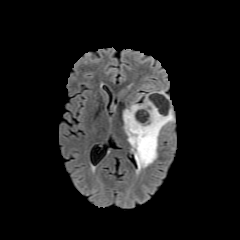
FLAIR magnetic resonance.
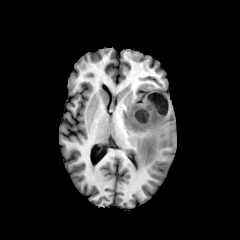
Same slice, T1-weighted MR image.
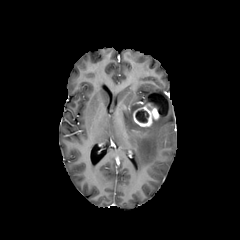
Post-contrast T1-weighted magnetic resonance of the same slice.
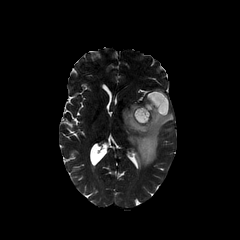
T2-weighted MRI of the same slice.
Axial slice; Head
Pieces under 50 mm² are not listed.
The necrotic tumor core appears at [135,109,148,122]. The enhancing tumor is located at [133,103,159,126]. The largest peritumoral edema region lies within [123,91,173,170].